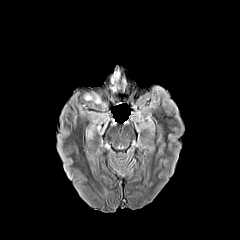
FLAIR MR.
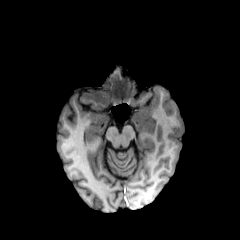
Same slice, T1-weighted MRI.
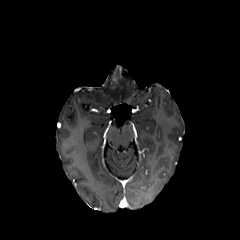
Post-contrast T1-weighted MR.
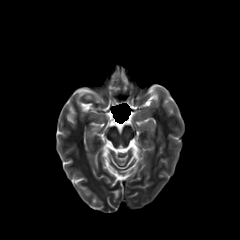
T2-weighted MR image.
Brain, Axial plane
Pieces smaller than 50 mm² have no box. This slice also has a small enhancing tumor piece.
Annotated regions:
- peritumoral edema: 94 94 101 103, 111 70 119 83